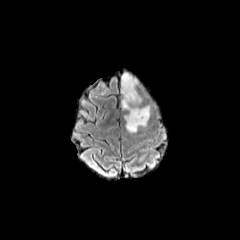
FLAIR magnetic resonance.
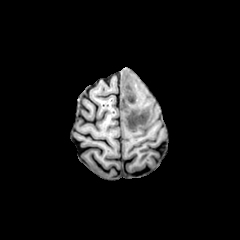
T1-weighted MR image.
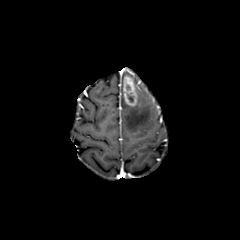
Same slice, post-contrast T1-weighted MRI.
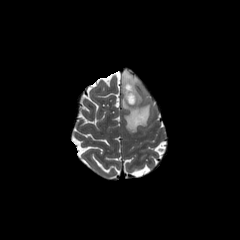
T2-weighted MR.
Axial plane
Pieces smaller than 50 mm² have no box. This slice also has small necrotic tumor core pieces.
enhancing tumor = 123, 74, 137, 106
peritumoral edema = 121, 90, 150, 132; 121, 72, 131, 94